Brain, Slice 69/155
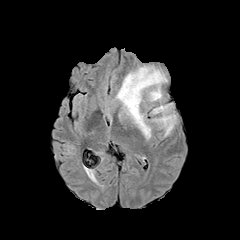
FLAIR magnetic resonance.
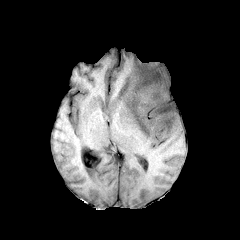
T1-weighted MR of the same slice.
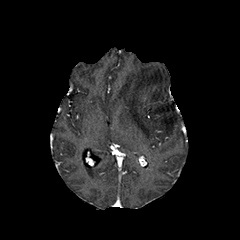
Post-contrast T1-weighted MR image.
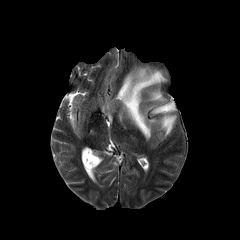
Same slice, T2-weighted MR.
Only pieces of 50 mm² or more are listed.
peritumoral edema = (152, 103, 176, 136), (116, 66, 167, 139)